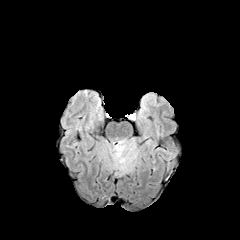
FLAIR magnetic resonance.
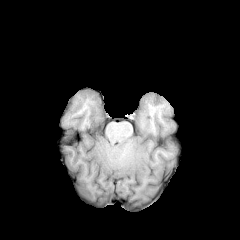
T1-weighted magnetic resonance of the same slice.
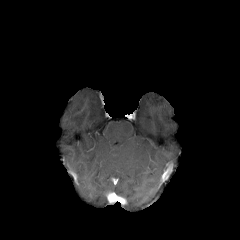
Same slice, post-contrast T1-weighted MR image.
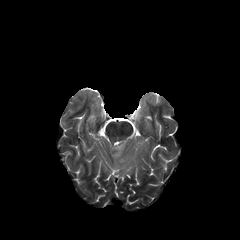
T2-weighted MRI.
Head
The peritumoral edema is located at <bbox>112, 139, 137, 175</bbox>.